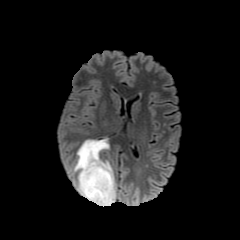
FLAIR MR image.
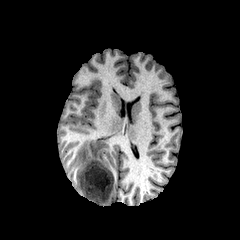
T1-weighted magnetic resonance.
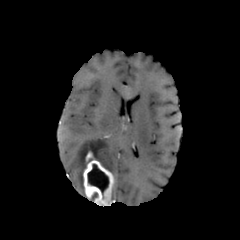
Same slice, post-contrast T1-weighted magnetic resonance.
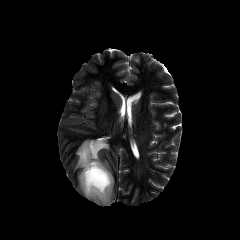
Same slice, T2-weighted MRI.
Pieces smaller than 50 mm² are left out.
necrotic tumor core: bounding box 87, 163, 109, 194
peritumoral edema: bounding box 112, 183, 115, 201; 74, 139, 112, 197
enhancing tumor: bounding box 83, 151, 114, 205